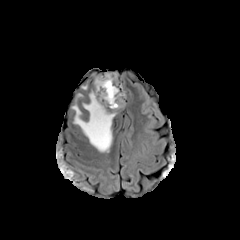
FLAIR MR.
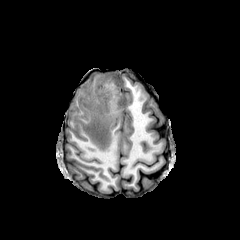
T1-weighted MRI.
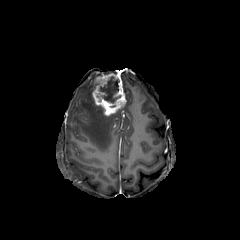
Post-contrast T1-weighted MR.
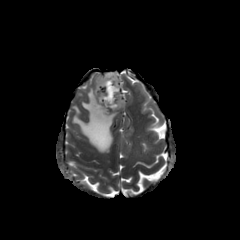
T2-weighted magnetic resonance.
Brain | Axial view
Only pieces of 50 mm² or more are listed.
<segmentation>
  <necrotic_tumor_core>bbox(99, 76, 120, 103)</necrotic_tumor_core>
  <enhancing_tumor>bbox(92, 73, 125, 115)</enhancing_tumor>
  <peritumoral_edema>bbox(72, 89, 117, 152)</peritumoral_edema>
</segmentation>